Slice 108 of 155; Brain; Image width 240 mm, 1.00 mm slice spacing
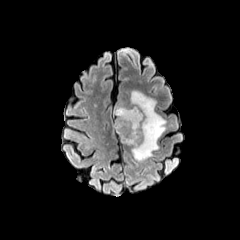
FLAIR MR.
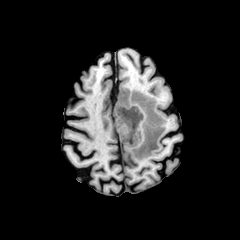
T1-weighted MR of the same slice.
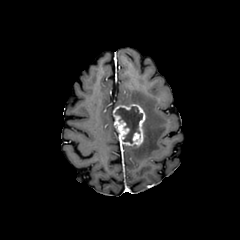
Post-contrast T1-weighted MR of the same slice.
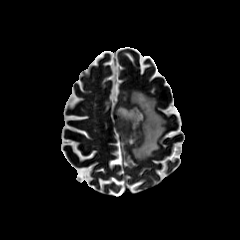
T2-weighted MR image.
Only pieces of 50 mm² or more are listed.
{
  "peritumoral_edema": [
    "left=130, top=90, right=166, bottom=161"
  ],
  "enhancing_tumor": [
    "left=113, top=104, right=145, bottom=146"
  ],
  "necrotic_tumor_core": [
    "left=115, top=106, right=142, bottom=143"
  ]
}